240x240 px. Brain.
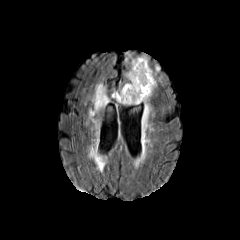
FLAIR MR.
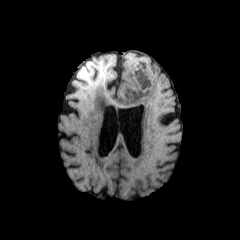
T1-weighted MR.
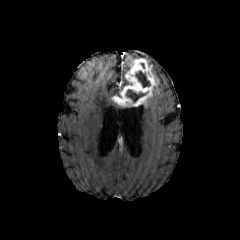
Post-contrast T1-weighted magnetic resonance of the same slice.
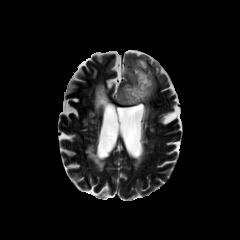
T2-weighted MRI.
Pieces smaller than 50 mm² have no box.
The 2 largest necrotic tumor core regions are located at bbox=[135, 71, 150, 87]; bbox=[126, 90, 146, 102]. The 3 largest peritumoral edema regions are bounded by bbox=[152, 65, 159, 84]; bbox=[124, 55, 148, 78]; bbox=[111, 79, 131, 97]. The enhancing tumor is located at bbox=[112, 58, 157, 106].